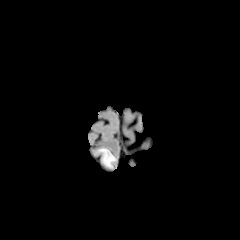
FLAIR MR image.
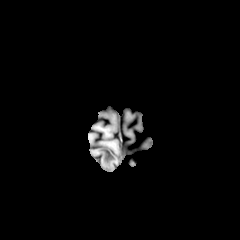
T1-weighted MR of the same slice.
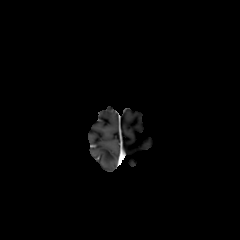
Post-contrast T1-weighted MR image.
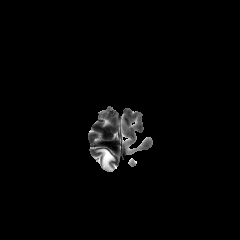
Same slice, T2-weighted MRI.
peritumoral edema: bbox(100, 149, 113, 165)